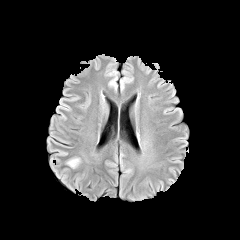
FLAIR MR.
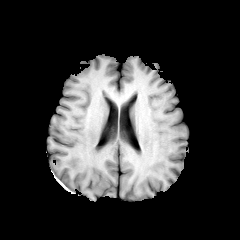
Same slice, T1-weighted MR image.
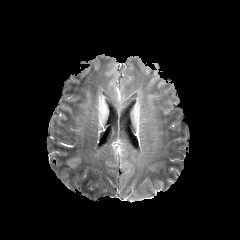
Same slice, post-contrast T1-weighted magnetic resonance.
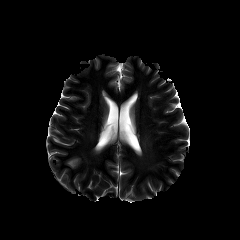
Same slice, T2-weighted magnetic resonance.
Head
peritumoral edema: [x1=67, y1=156, x2=80, y2=168]